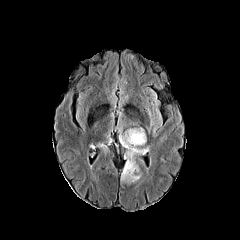
FLAIR MR image.
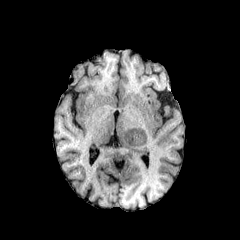
Same slice, T1-weighted MR.
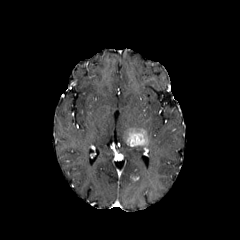
Post-contrast T1-weighted magnetic resonance of the same slice.
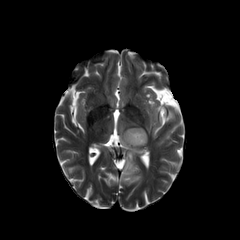
T2-weighted MR.
240x240 px | Axial slice
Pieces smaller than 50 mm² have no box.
peritumoral edema: bounding box x1=119, y1=133, x2=148, y2=183; x1=96, y1=142, x2=107, y2=153
enhancing tumor: bounding box x1=124, y1=128, x2=147, y2=146